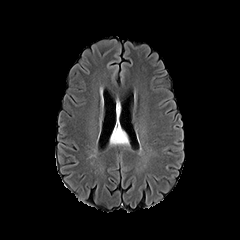
FLAIR MRI.
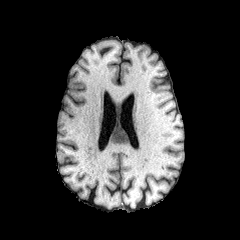
T1-weighted MR image.
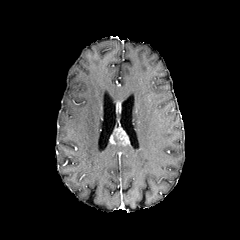
Post-contrast T1-weighted magnetic resonance.
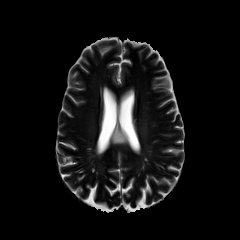
Same slice, T2-weighted MR image.
Brain
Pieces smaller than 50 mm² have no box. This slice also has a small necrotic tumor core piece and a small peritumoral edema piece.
Segmented structures:
* enhancing tumor: region(110, 126, 129, 145)